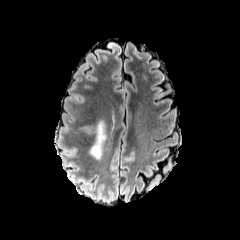
FLAIR MR.
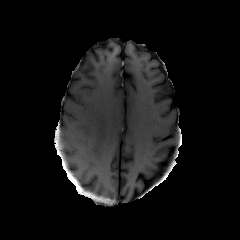
T1-weighted MR of the same slice.
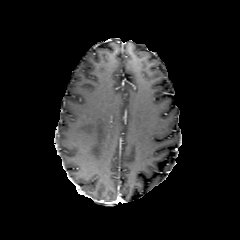
Post-contrast T1-weighted MR of the same slice.
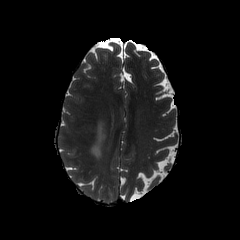
T2-weighted MR image of the same slice.
{
  "peritumoral_edema": [
    "<box>90,121,105,159</box>"
  ]
}